Slice index 100 | 240x240 | Image width 240 mm, 1.00 mm slice spacing | Axial view
FLAIR MR image.
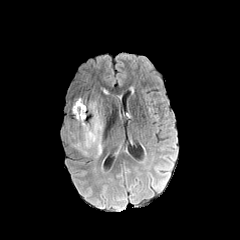
T1-weighted MR.
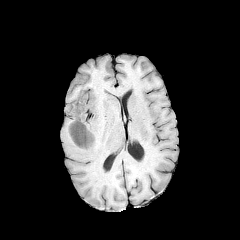
Post-contrast T1-weighted MR.
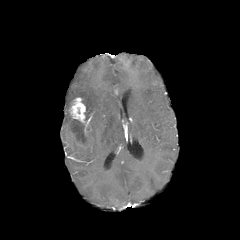
T2-weighted MR image.
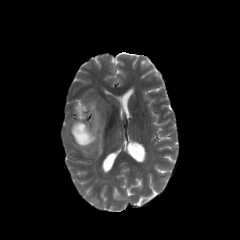
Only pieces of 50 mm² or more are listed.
<segmentation>
  <necrotic_tumor_core>rect(72, 121, 86, 144)</necrotic_tumor_core>
  <enhancing_tumor>rect(71, 98, 93, 148)</enhancing_tumor>
  <peritumoral_edema>rect(76, 146, 89, 155); rect(87, 100, 103, 157)</peritumoral_edema>
</segmentation>